Slice 112 of 155
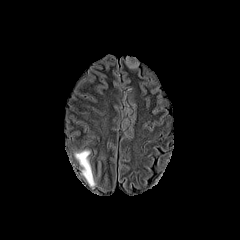
FLAIR MR.
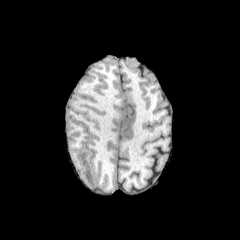
Same slice, T1-weighted MR image.
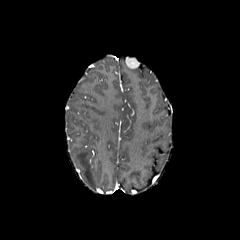
Same slice, post-contrast T1-weighted magnetic resonance.
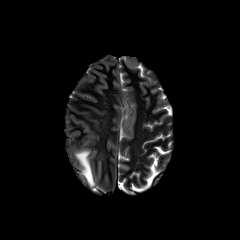
T2-weighted MR image of the same slice.
peritumoral edema — 75,150,94,186